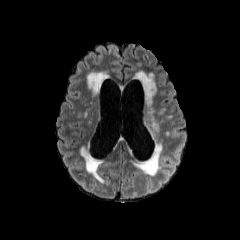
FLAIR magnetic resonance.
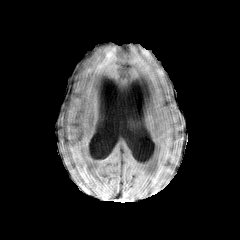
Same slice, T1-weighted magnetic resonance.
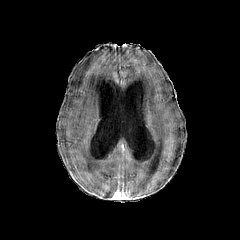
Post-contrast T1-weighted MR image.
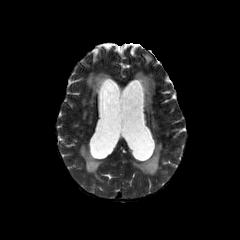
T2-weighted magnetic resonance.
Axial slice. Brain.
{"peritumoral_edema": ["<box>143,112,160,134</box>"]}